FLAIR MRI.
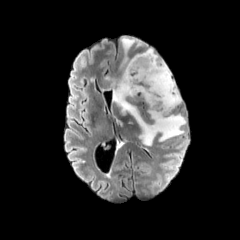
T1-weighted MRI.
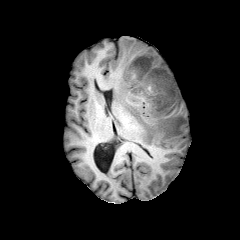
Post-contrast T1-weighted magnetic resonance.
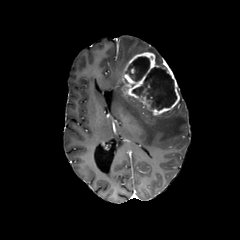
T2-weighted MRI.
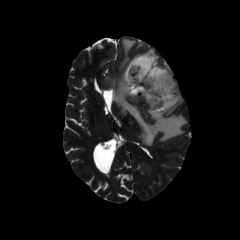
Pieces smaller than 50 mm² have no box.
The 2 largest peritumoral edema regions are bounded by (143, 47, 163, 64), (104, 36, 186, 145). The 2 largest necrotic tumor core regions are located at (126, 57, 149, 81), (132, 67, 176, 109). The largest enhancing tumor region is located at (122, 52, 179, 115).